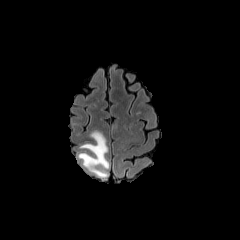
FLAIR magnetic resonance.
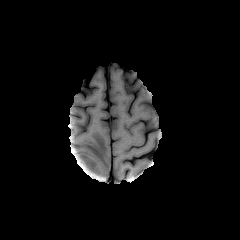
T1-weighted MRI.
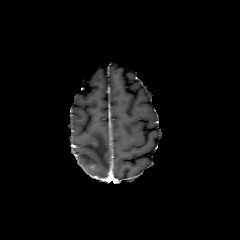
Same slice, post-contrast T1-weighted MR image.
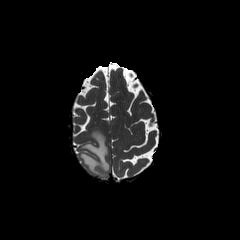
Same slice, T2-weighted magnetic resonance.
Head
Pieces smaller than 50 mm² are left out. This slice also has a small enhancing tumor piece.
The peritumoral edema lies within {"x1": 78, "y1": 131, "x2": 110, "y2": 178}.